FLAIR MR image.
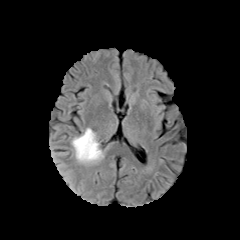
T1-weighted MR image.
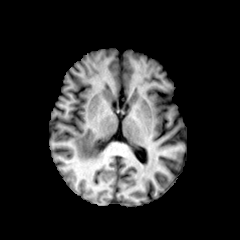
Post-contrast T1-weighted magnetic resonance.
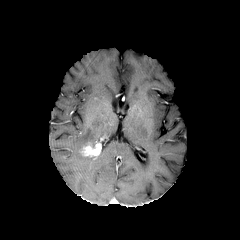
T2-weighted magnetic resonance.
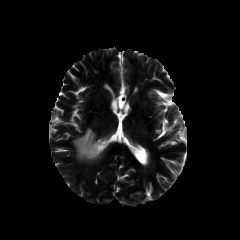
Axial view
enhancing tumor — 80 142 101 158
peritumoral edema — 72 128 103 162